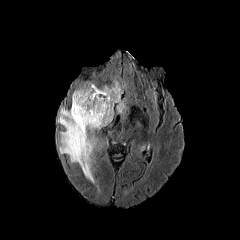
FLAIR magnetic resonance.
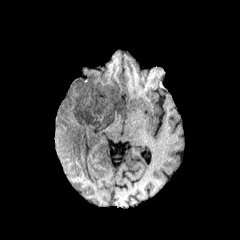
Same slice, T1-weighted MR.
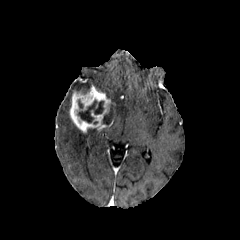
Post-contrast T1-weighted MR.
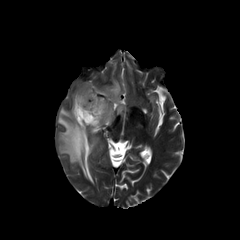
T2-weighted magnetic resonance.
Axial slice
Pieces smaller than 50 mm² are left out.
Segmented structures:
- enhancing tumor: 69 88 111 133
- necrotic tumor core: 78 100 103 122
- peritumoral edema: 97 79 126 124, 75 82 96 92, 57 107 96 183